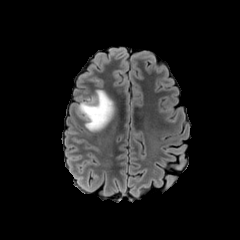
FLAIR magnetic resonance.
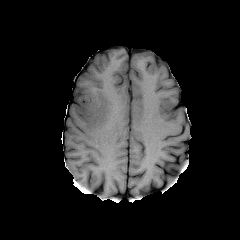
T1-weighted MR of the same slice.
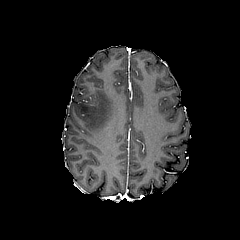
Same slice, post-contrast T1-weighted magnetic resonance.
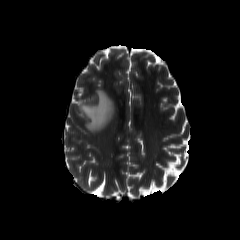
Same slice, T2-weighted MR.
240x240 px, Axial plane
Segmented structures:
* peritumoral edema: box=[76, 89, 114, 131]